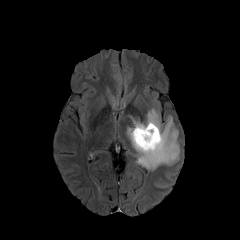
FLAIR MR image.
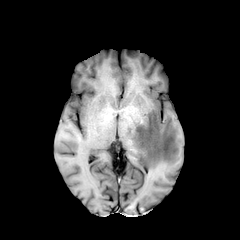
T1-weighted MR image.
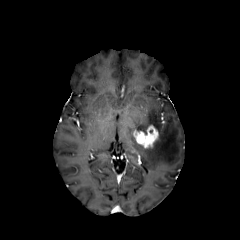
Post-contrast T1-weighted MR image of the same slice.
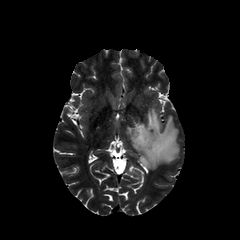
T2-weighted MRI of the same slice.
Head; Axial slice
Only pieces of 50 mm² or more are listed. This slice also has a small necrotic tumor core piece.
enhancing tumor: [133,125,158,148] | peritumoral edema: [127,108,179,170]